FLAIR MR.
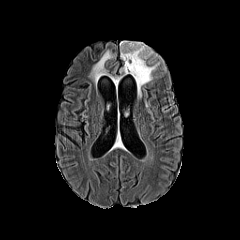
T1-weighted magnetic resonance.
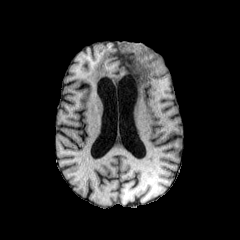
Post-contrast T1-weighted MR image.
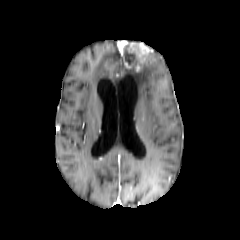
T2-weighted MR image.
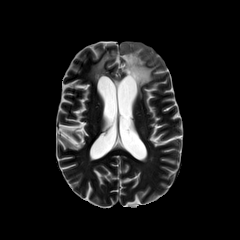
Axial plane, Head
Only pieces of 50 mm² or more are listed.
necrotic tumor core: x1=123 y1=45 x2=138 y2=66 | peritumoral edema: x1=91 y1=50 x2=113 y2=81, x1=120 y1=53 x2=159 y2=97 | enhancing tumor: x1=119 y1=41 x2=153 y2=71